Image width 240 mm, 1.00 mm slice spacing. Brain. Slice 84 of 155.
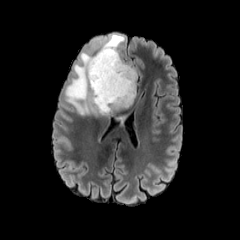
FLAIR magnetic resonance.
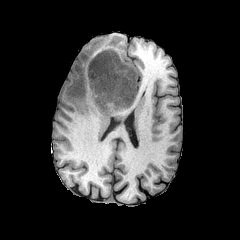
T1-weighted MRI.
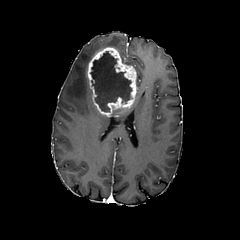
Post-contrast T1-weighted MR.
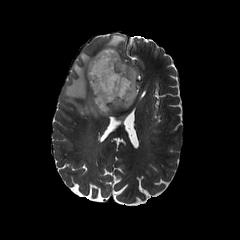
T2-weighted MR image.
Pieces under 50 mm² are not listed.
<segmentation>
  <necrotic_tumor_core>90,50,131,111</necrotic_tumor_core>
  <peritumoral_edema>65,52,104,117; 94,34,124,53; 114,114,126,126</peritumoral_edema>
  <enhancing_tumor>87,47,136,116</enhancing_tumor>
</segmentation>